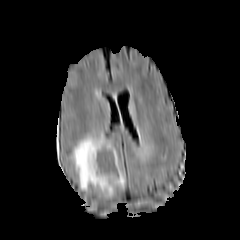
FLAIR magnetic resonance.
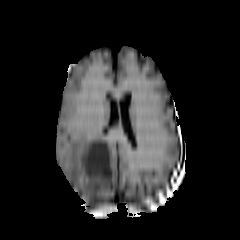
T1-weighted magnetic resonance.
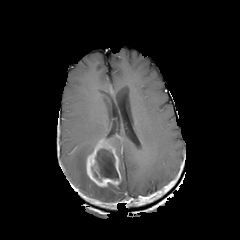
Same slice, post-contrast T1-weighted MR image.
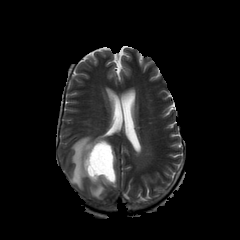
T2-weighted MR.
Brain | Axial view
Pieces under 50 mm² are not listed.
peritumoral_edema:
  - x1=71, y1=134, x2=116, y2=196
  - x1=117, y1=164, x2=125, y2=187
enhancing_tumor:
  - x1=86, y1=139, x2=121, y2=187
necrotic_tumor_core:
  - x1=95, y1=148, x2=118, y2=179